FLAIR MRI.
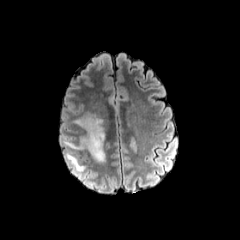
T1-weighted MRI.
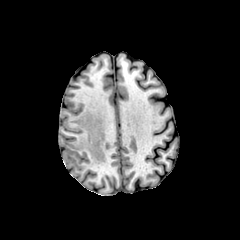
Post-contrast T1-weighted MRI.
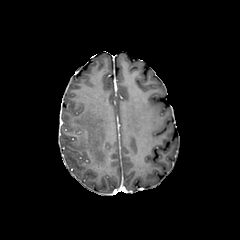
T2-weighted magnetic resonance.
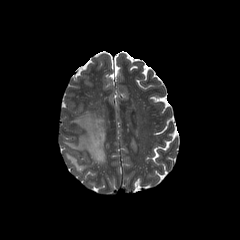
Axial slice
2 peritumoral edema regions appear at [66, 153, 85, 172], [64, 114, 105, 162].